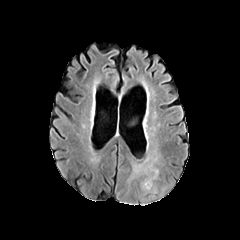
FLAIR magnetic resonance.
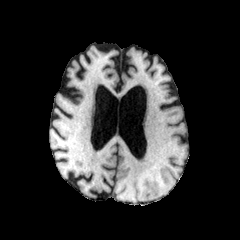
Same slice, T1-weighted MRI.
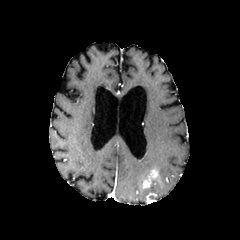
Post-contrast T1-weighted MR image.
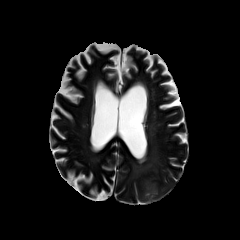
T2-weighted MRI.
Axial slice
<segmentation>
  <peritumoral_edema>(x1=128, y1=151, x2=158, y2=181)</peritumoral_edema>
  <enhancing_tumor>(x1=143, y1=175, x2=150, y2=188), (x1=150, y1=169, x2=157, y2=177)</enhancing_tumor>
</segmentation>